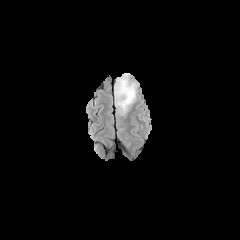
FLAIR MR.
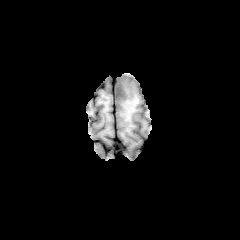
T1-weighted MR image.
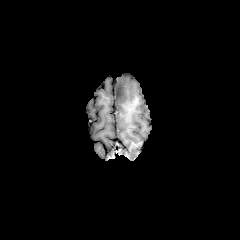
Post-contrast T1-weighted MR.
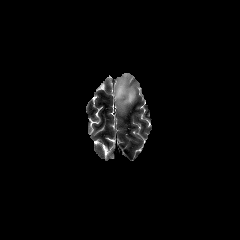
Same slice, T2-weighted magnetic resonance.
Brain | Axial plane
necrotic tumor core = {"x1": 115, "y1": 75, "x2": 131, "y2": 99}
peritumoral edema = {"x1": 114, "y1": 73, "x2": 138, "y2": 113}